Head, 240x240
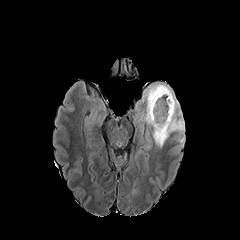
FLAIR magnetic resonance.
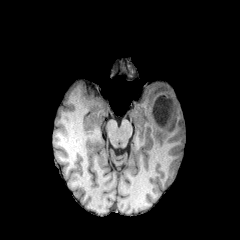
T1-weighted MRI.
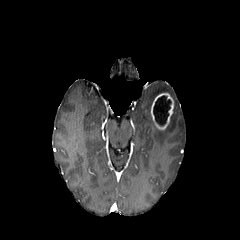
Post-contrast T1-weighted MR image.
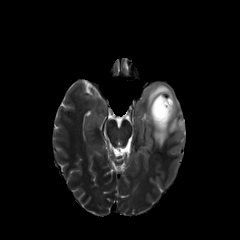
T2-weighted MRI.
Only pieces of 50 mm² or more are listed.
peritumoral edema: bbox=[141, 82, 185, 147]
enhancing tumor: bbox=[151, 93, 173, 129]
necrotic tumor core: bbox=[153, 95, 171, 126]